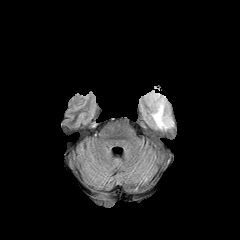
FLAIR magnetic resonance.
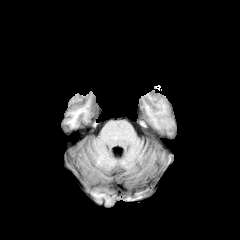
Same slice, T1-weighted magnetic resonance.
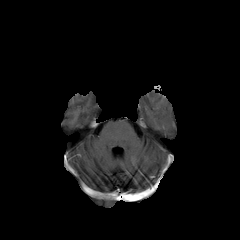
Post-contrast T1-weighted MRI.
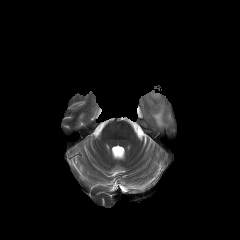
T2-weighted MRI of the same slice.
Brain.
• peritumoral edema: left=146, top=91, right=172, bottom=128